FLAIR MR image.
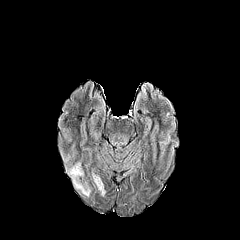
T1-weighted magnetic resonance.
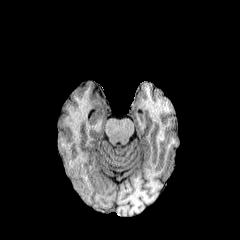
Post-contrast T1-weighted MR.
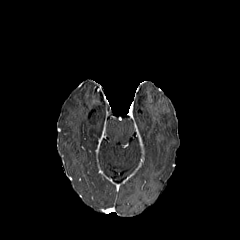
T2-weighted MR image.
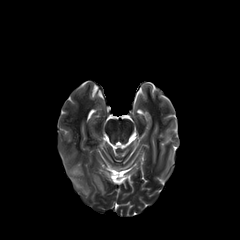
Head | 240x240
peritumoral_edema:
  - <bbox>69, 164, 90, 196</bbox>
  - <bbox>94, 176, 104, 195</bbox>